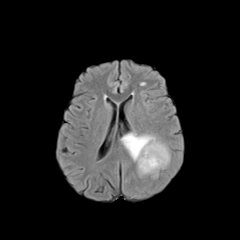
FLAIR MRI.
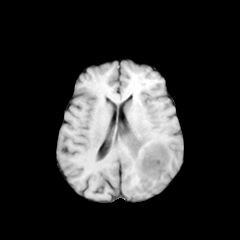
T1-weighted MRI.
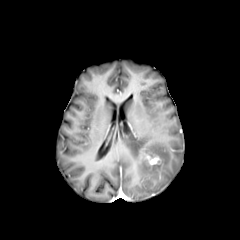
Same slice, post-contrast T1-weighted magnetic resonance.
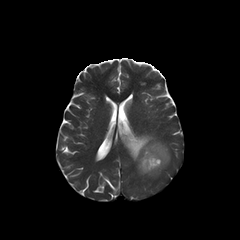
Same slice, T2-weighted MR.
Head
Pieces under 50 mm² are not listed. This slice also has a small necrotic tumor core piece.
The enhancing tumor appears at [140,148,162,165]. The peritumoral edema is at [121,132,170,176].